FLAIR MR image.
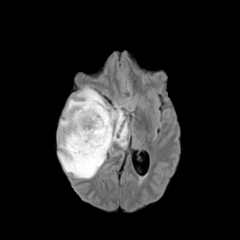
T1-weighted MR.
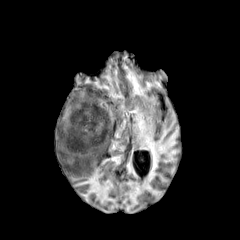
Post-contrast T1-weighted magnetic resonance.
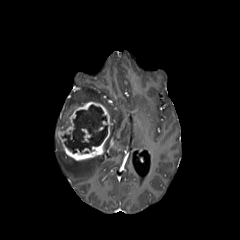
T2-weighted MR image.
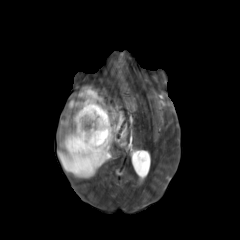
240x240 px | Head
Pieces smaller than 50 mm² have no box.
The largest necrotic tumor core region appears at [62, 105, 107, 153]. 2 enhancing tumor regions are bounded by [81, 128, 91, 142], [56, 101, 112, 160]. 2 peritumoral edema regions appear at [60, 86, 128, 146], [58, 125, 112, 178].